Head, Axial view
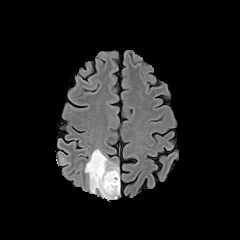
FLAIR magnetic resonance.
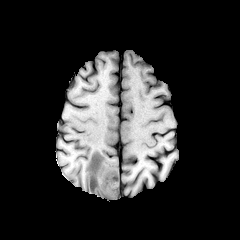
T1-weighted MR.
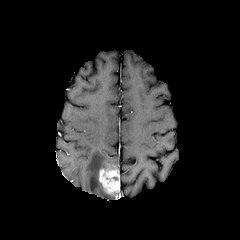
Post-contrast T1-weighted MR.
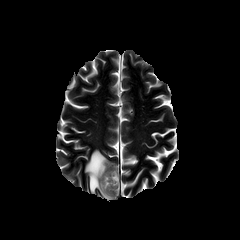
T2-weighted MR.
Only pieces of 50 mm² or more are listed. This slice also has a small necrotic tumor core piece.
peritumoral edema = 85, 149, 114, 198
enhancing tumor = 99, 165, 117, 195